Image width 240 mm, 1.00 mm slice spacing
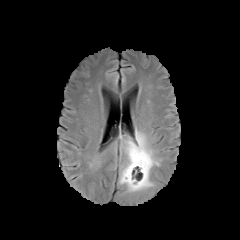
FLAIR MRI.
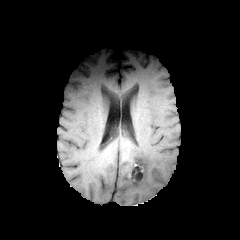
T1-weighted MR of the same slice.
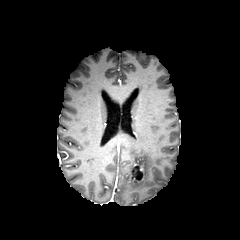
Same slice, post-contrast T1-weighted magnetic resonance.
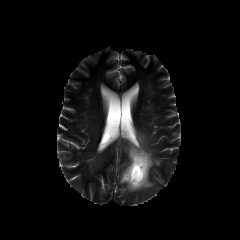
T2-weighted MR image.
peritumoral edema: region(119, 131, 159, 191) | enhancing tumor: region(129, 164, 144, 184) | necrotic tumor core: region(131, 165, 142, 179)